FLAIR magnetic resonance.
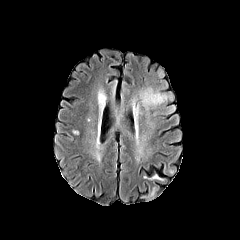
T1-weighted MR image.
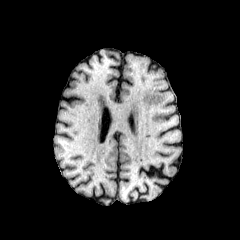
Post-contrast T1-weighted magnetic resonance.
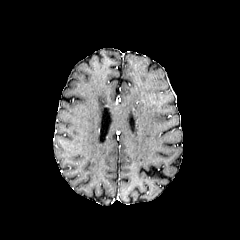
T2-weighted MRI.
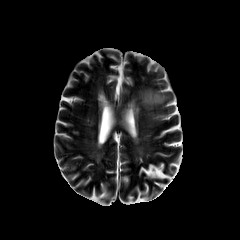
Head, 240x240 px
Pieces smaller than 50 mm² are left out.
{"peritumoral_edema": ["[140, 88, 168, 109]"]}